FLAIR MR image.
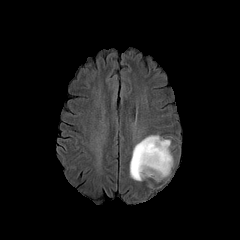
T1-weighted MR.
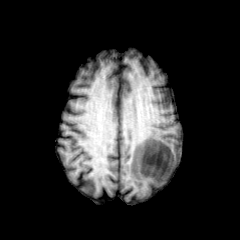
Post-contrast T1-weighted MRI.
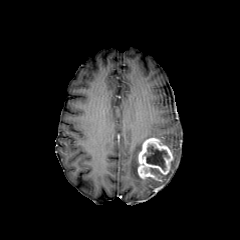
T2-weighted MR.
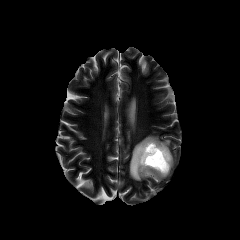
Brain | Axial view | 240x240 px
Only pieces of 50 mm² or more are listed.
enhancing tumor: rect(137, 138, 173, 180) | necrotic tumor core: rect(145, 145, 168, 170) | peritumoral edema: rect(129, 135, 170, 181)